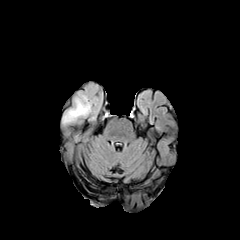
FLAIR magnetic resonance.
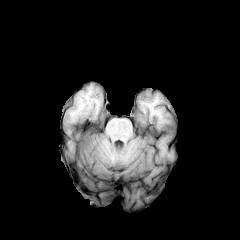
T1-weighted MR image.
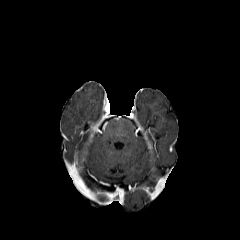
Post-contrast T1-weighted MR.
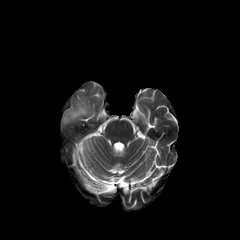
T2-weighted magnetic resonance.
Axial view
peritumoral edema = (left=60, top=81, right=102, bottom=138), (left=74, top=133, right=80, bottom=142)